Slice 85/155
FLAIR MR image.
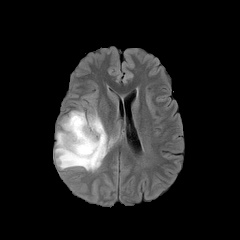
T1-weighted magnetic resonance.
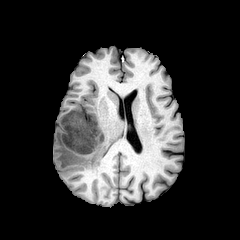
Post-contrast T1-weighted MR.
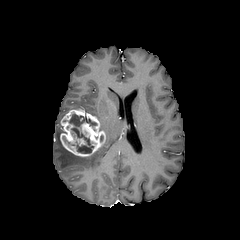
T2-weighted magnetic resonance.
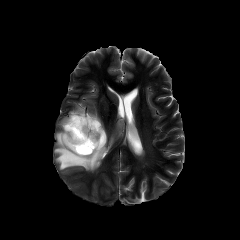
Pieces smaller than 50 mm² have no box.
{
  "enhancing_tumor": [
    {"x1": 60, "y1": 109, "x2": 105, "y2": 156}
  ],
  "peritumoral_edema": [
    {"x1": 54, "y1": 131, "x2": 113, "y2": 171},
    {"x1": 91, "y1": 112, "x2": 104, "y2": 130}
  ],
  "necrotic_tumor_core": [
    {"x1": 69, "y1": 114, "x2": 93, "y2": 153}
  ]
}